FLAIR MR image.
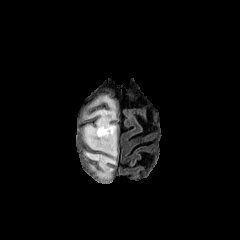
T1-weighted MR image.
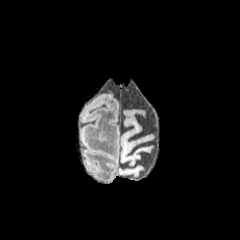
Post-contrast T1-weighted MRI.
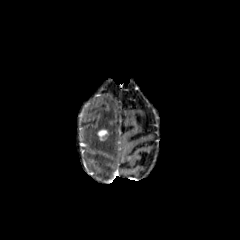
T2-weighted MR.
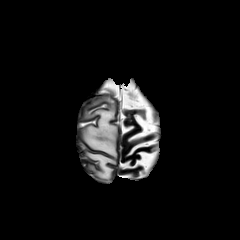
Image size 240x240; Head
<segmentation>
  <enhancing_tumor>97,128,109,140</enhancing_tumor>
  <peritumoral_edema>84,96,117,179</peritumoral_edema>
</segmentation>